FLAIR MR image.
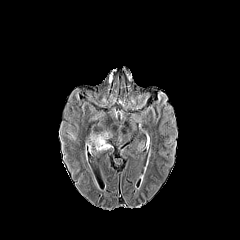
T1-weighted MR image.
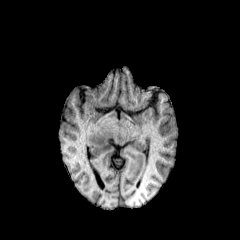
Post-contrast T1-weighted MR image.
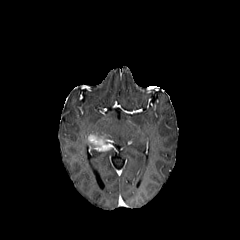
T2-weighted MR image.
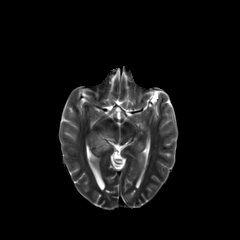
Axial view | Head
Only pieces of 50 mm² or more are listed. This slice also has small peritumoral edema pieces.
Findings:
- enhancing tumor: [87,134,112,151]